Brain | Image covers 240 mm x 240 mm | Axial view
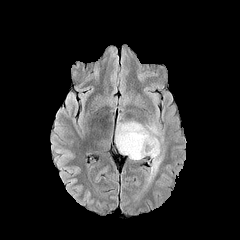
FLAIR MR image.
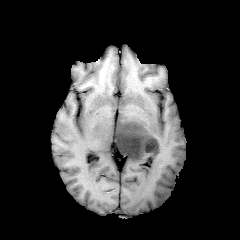
T1-weighted MR image of the same slice.
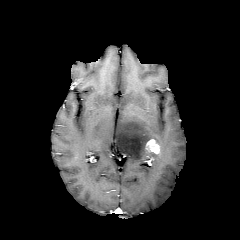
Post-contrast T1-weighted magnetic resonance.
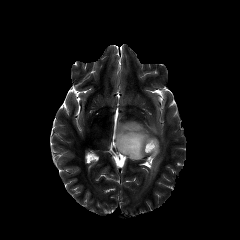
T2-weighted MR image.
- enhancing tumor: bbox=[145, 139, 160, 154]
- peritumoral edema: bbox=[115, 114, 163, 180]